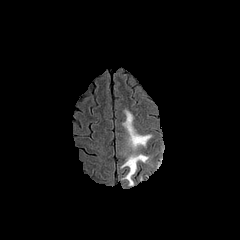
FLAIR magnetic resonance.
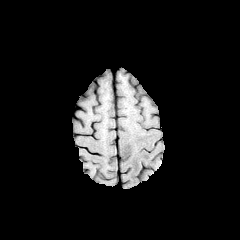
T1-weighted magnetic resonance.
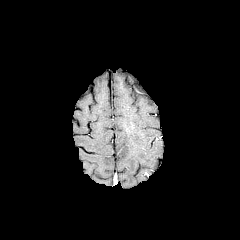
Post-contrast T1-weighted MR.
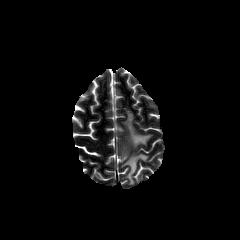
T2-weighted MR of the same slice.
240x240 px.
peritumoral edema — x1=121, y1=110, x2=152, y2=185